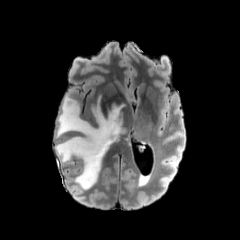
FLAIR magnetic resonance.
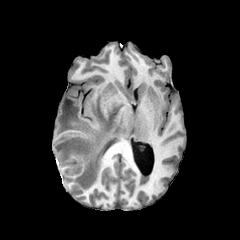
T1-weighted MR.
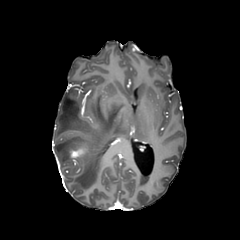
Post-contrast T1-weighted MR image of the same slice.
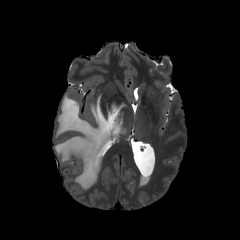
T2-weighted MR.
Image size 240x240
{
  "enhancing_tumor": [
    "70 145 87 158"
  ],
  "peritumoral_edema": [
    "54 92 126 189"
  ]
}